FLAIR magnetic resonance.
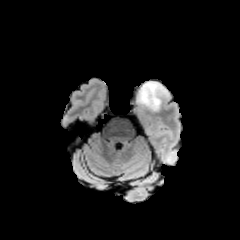
T1-weighted MR image.
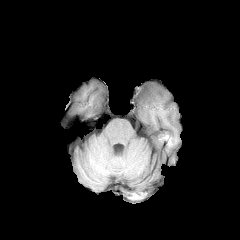
Post-contrast T1-weighted MR.
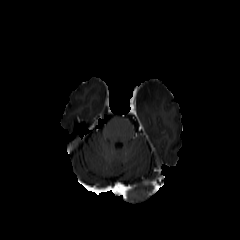
T2-weighted magnetic resonance.
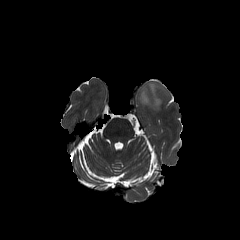
Brain
peritumoral edema: <box>136,81,169,110</box>